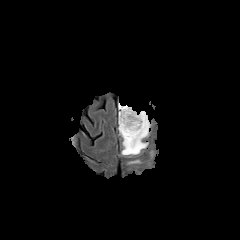
FLAIR magnetic resonance.
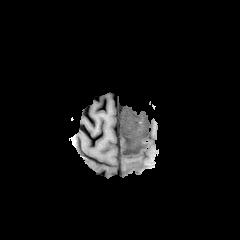
T1-weighted magnetic resonance.
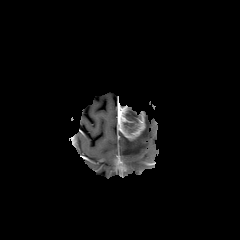
Post-contrast T1-weighted MR image.
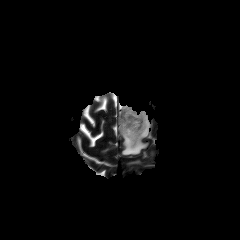
T2-weighted MR.
Brain; Axial plane
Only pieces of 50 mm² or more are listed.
Findings:
• peritumoral edema: (119,111,150,156)
• necrotic tumor core: (124,107,140,132)
• enhancing tumor: (117,103,145,140)